240x240 | Brain
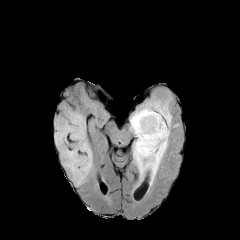
FLAIR MRI.
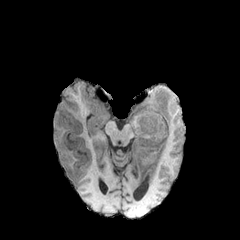
Same slice, T1-weighted magnetic resonance.
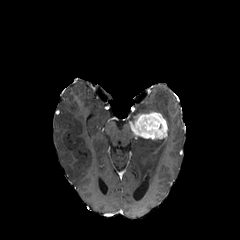
Post-contrast T1-weighted MRI.
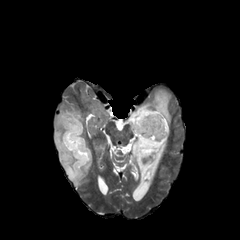
T2-weighted MRI of the same slice.
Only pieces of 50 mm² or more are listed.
<segmentation>
  <enhancing_tumor>(130,111,167,139)</enhancing_tumor>
  <peritumoral_edema>(131,90,172,185), (55,103,93,185)</peritumoral_edema>
</segmentation>